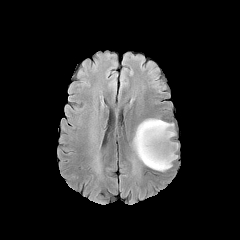
FLAIR MR image.
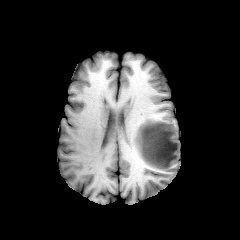
Same slice, T1-weighted MR image.
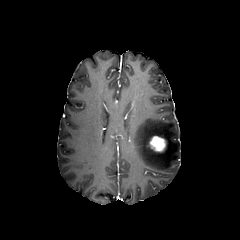
Post-contrast T1-weighted MR.
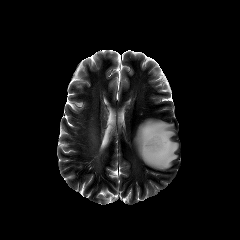
T2-weighted MRI of the same slice.
Head
enhancing tumor: <bbox>149, 136, 166, 152</bbox> | peritumoral edema: <bbox>133, 118, 178, 170</bbox>